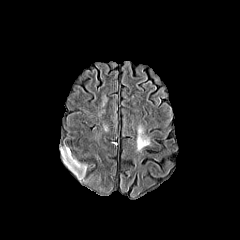
FLAIR MR.
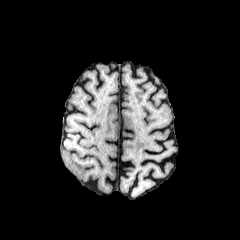
T1-weighted magnetic resonance of the same slice.
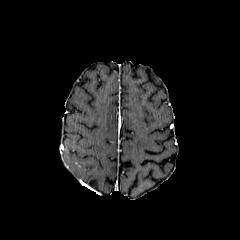
Same slice, post-contrast T1-weighted MRI.
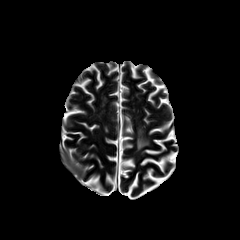
T2-weighted MR image.
240x240 | Axial plane
The peritumoral edema is bounded by region(62, 147, 87, 179).